FLAIR magnetic resonance.
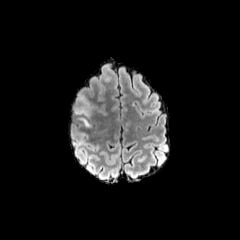
T1-weighted MR.
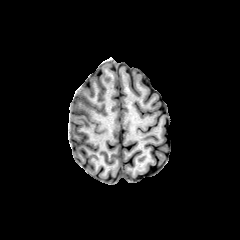
Post-contrast T1-weighted magnetic resonance.
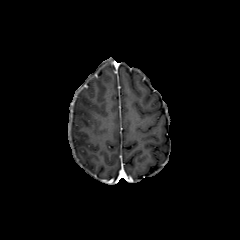
T2-weighted MR image.
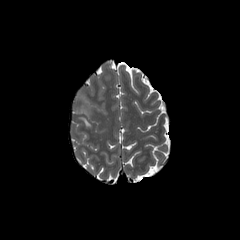
Axial view, 240x240
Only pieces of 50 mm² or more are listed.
The largest peritumoral edema region is at bbox(75, 93, 90, 116).